240x240 px; Image width 240 mm, 1.00 mm slice spacing; Axial plane
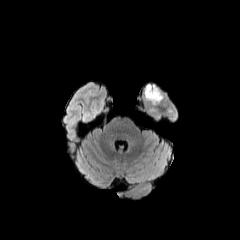
FLAIR MRI.
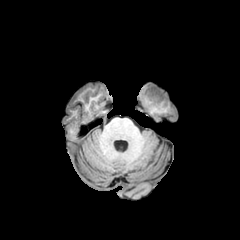
T1-weighted MRI.
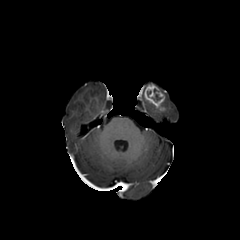
Post-contrast T1-weighted magnetic resonance of the same slice.
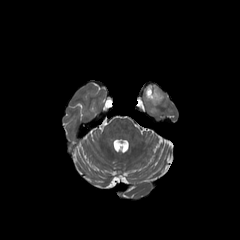
T2-weighted magnetic resonance.
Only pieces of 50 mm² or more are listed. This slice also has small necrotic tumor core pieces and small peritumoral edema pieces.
Annotated regions:
* enhancing tumor: bbox=[144, 84, 165, 110]